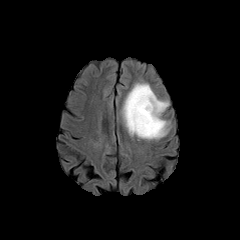
FLAIR MRI.
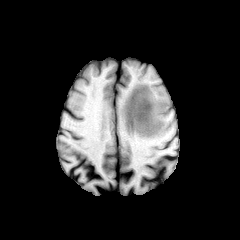
T1-weighted MR of the same slice.
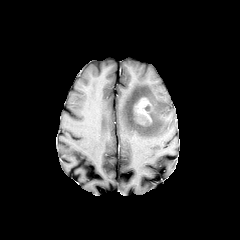
Post-contrast T1-weighted magnetic resonance.
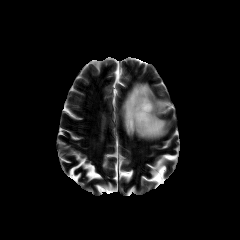
Same slice, T2-weighted magnetic resonance.
Head
peritumoral_edema:
  - (x1=121, y1=82, x2=169, y2=139)
enhancing_tumor:
  - (x1=134, y1=98, x2=151, y2=124)